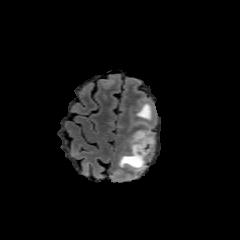
FLAIR magnetic resonance.
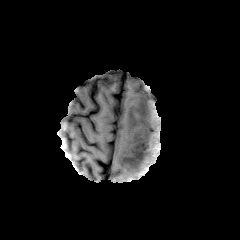
T1-weighted magnetic resonance.
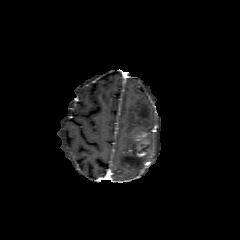
Post-contrast T1-weighted magnetic resonance.
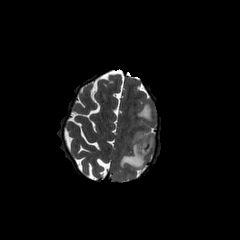
T2-weighted MRI.
Axial plane | Head
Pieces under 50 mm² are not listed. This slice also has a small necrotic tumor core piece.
2 peritumoral edema regions appear at bbox=[128, 103, 151, 131]; bbox=[119, 145, 144, 170]. The enhancing tumor lies within bbox=[131, 127, 155, 159].